FLAIR magnetic resonance.
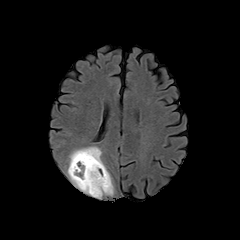
T1-weighted magnetic resonance.
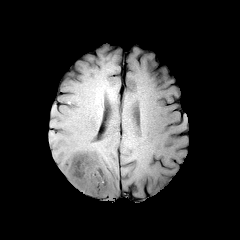
Post-contrast T1-weighted MR image.
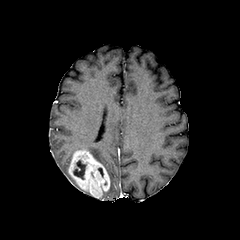
T2-weighted MRI.
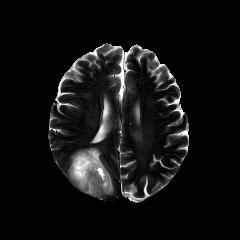
Head, 240x240 px
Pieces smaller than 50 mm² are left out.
The largest necrotic tumor core region lies within [73,160,86,179]. The largest enhancing tumor region is bounded by [68,150,110,198]. 2 peritumoral edema regions appear at [69,147,114,195], [67,170,90,194].